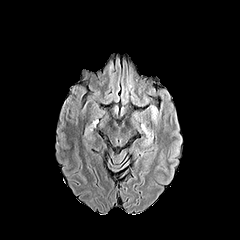
FLAIR MRI.
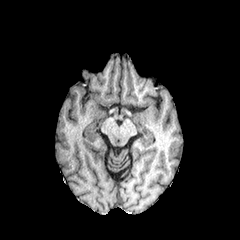
T1-weighted MR.
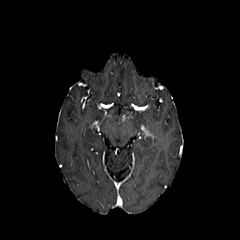
Post-contrast T1-weighted MRI of the same slice.
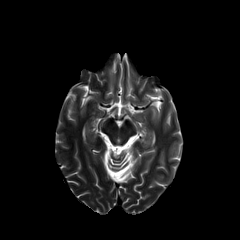
T2-weighted magnetic resonance.
Axial slice; Image size 240x240; Brain
<segmentation>
  <peritumoral_edema>bbox(151, 106, 156, 119)</peritumoral_edema>
</segmentation>